Head. Axial slice.
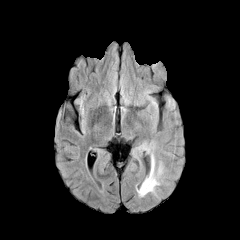
FLAIR magnetic resonance.
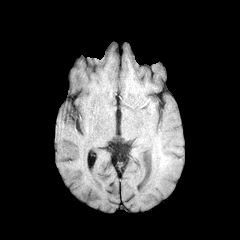
T1-weighted MR image.
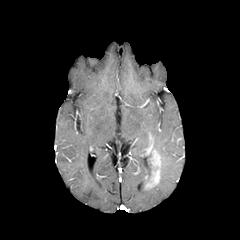
Same slice, post-contrast T1-weighted MRI.
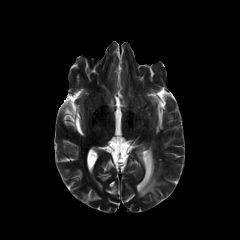
T2-weighted MR.
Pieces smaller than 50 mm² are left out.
peritumoral edema — 138,143,154,157; 136,179,160,196; 148,164,158,178
enhancing tumor — 144,151,160,189